FLAIR MR image.
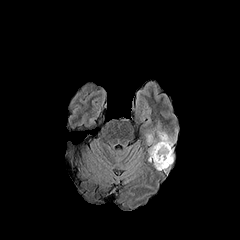
T1-weighted magnetic resonance.
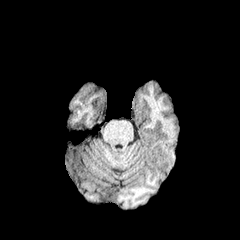
Post-contrast T1-weighted MR.
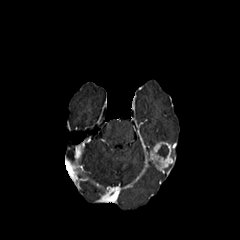
T2-weighted MR image.
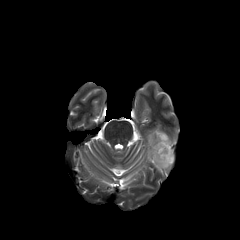
240x240 px
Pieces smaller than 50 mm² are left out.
peritumoral edema = left=146, top=131, right=174, bottom=148
enhancing tumor = left=149, top=141, right=173, bottom=170
necrotic tumor core = left=157, top=145, right=168, bottom=158